Brain; Image width 240 mm
FLAIR MR image.
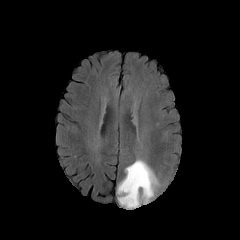
T1-weighted MRI.
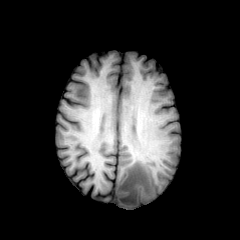
Post-contrast T1-weighted MR.
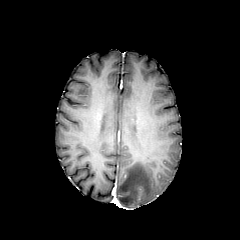
T2-weighted magnetic resonance.
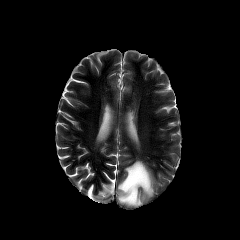
peritumoral_edema:
  - 117,159,159,208